Axial view.
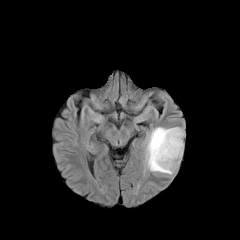
FLAIR MRI.
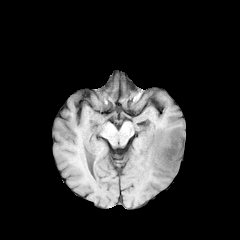
T1-weighted MR image.
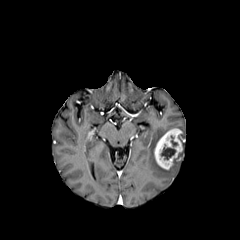
Post-contrast T1-weighted magnetic resonance of the same slice.
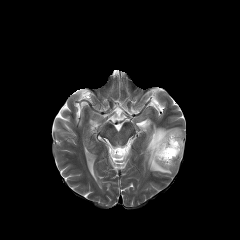
Same slice, T2-weighted MRI.
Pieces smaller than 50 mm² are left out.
The largest necrotic tumor core region is at 161,147,175,159. The enhancing tumor appears at 154,128,182,169. The largest peritumoral edema region appears at 145,127,178,174.